Axial slice, Brain
FLAIR MR image.
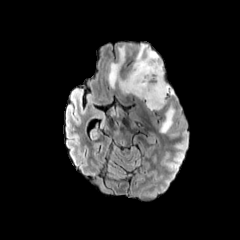
T1-weighted magnetic resonance.
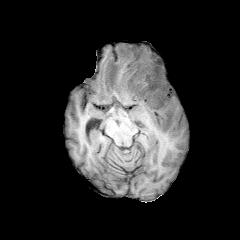
Post-contrast T1-weighted MR image.
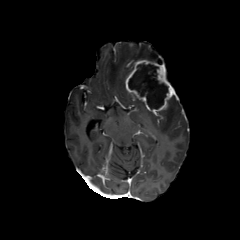
T2-weighted MR.
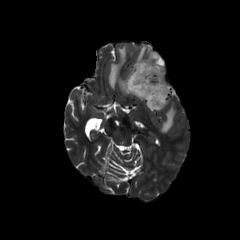
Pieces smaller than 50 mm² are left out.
The enhancing tumor is at left=125, top=59, right=178, bottom=113. The necrotic tumor core lies within left=128, top=63, right=167, bottom=109. The 2 largest peritumoral edema regions are bounded by left=108, top=43, right=163, bottom=94; left=159, top=101, right=175, bottom=133.